Axial plane
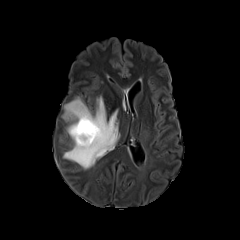
FLAIR magnetic resonance.
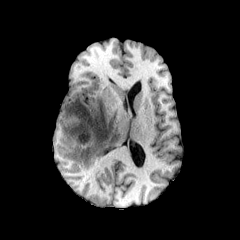
T1-weighted MR image of the same slice.
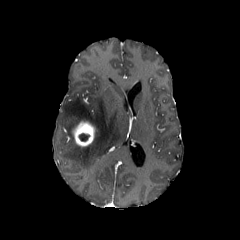
Post-contrast T1-weighted MR image of the same slice.
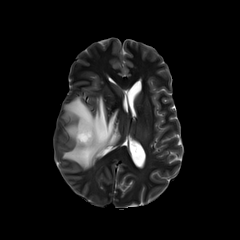
Same slice, T2-weighted MRI.
peritumoral edema: bounding box rect(62, 96, 120, 169)
enhancing tumor: bounding box rect(72, 121, 95, 146)
necrotic tumor core: bounding box rect(79, 134, 89, 141)